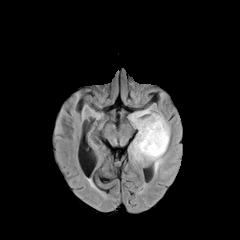
FLAIR MR image.
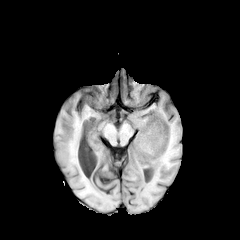
T1-weighted magnetic resonance.
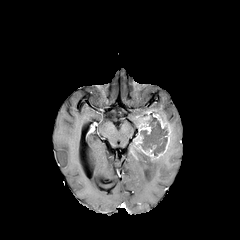
Same slice, post-contrast T1-weighted MRI.
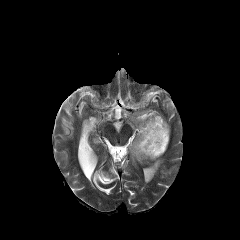
T2-weighted MR image.
Axial view | Brain | Image size 240x240
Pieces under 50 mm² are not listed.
The largest necrotic tumor core region is at 140 115 167 156. The 2 largest peritumoral edema regions are bounded by 129 108 166 134, 128 142 157 162. The largest enhancing tumor region is at 130 114 170 159.